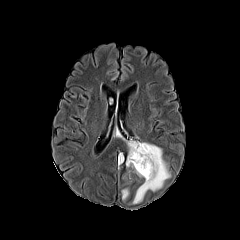
FLAIR MR image.
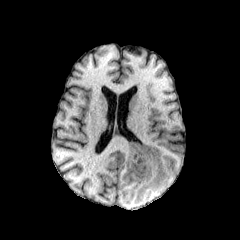
T1-weighted MR image.
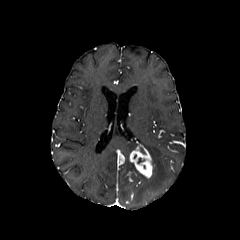
Post-contrast T1-weighted MR of the same slice.
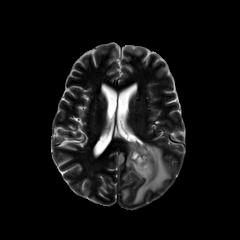
T2-weighted magnetic resonance of the same slice.
Head
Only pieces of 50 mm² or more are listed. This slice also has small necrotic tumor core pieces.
{
  "enhancing_tumor": [
    "x1=129, y1=143, x2=153, y2=178",
    "x1=118, y1=154, x2=124, y2=164"
  ],
  "peritumoral_edema": [
    "x1=122, y1=189, x2=128, y2=200",
    "x1=126, y1=143, x2=170, y2=203",
    "x1=127, y1=142, x2=137, y2=154"
  ]
}